FLAIR MRI.
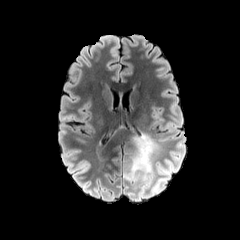
T1-weighted MR.
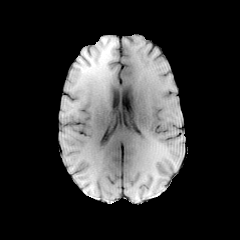
Post-contrast T1-weighted MR image.
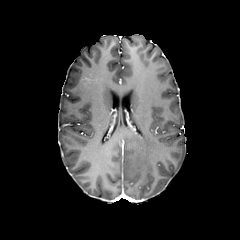
T2-weighted magnetic resonance.
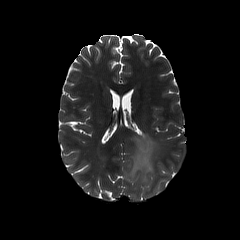
240x240 px.
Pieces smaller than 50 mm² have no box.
peritumoral edema = x1=124 y1=135 x2=156 y2=191, x1=153 y1=178 x2=166 y2=191